Slice 70/155. Head. Image size 240x240.
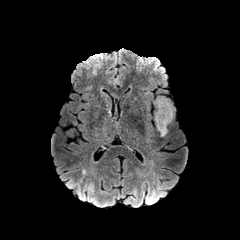
FLAIR MR image.
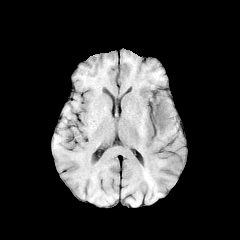
Same slice, T1-weighted MRI.
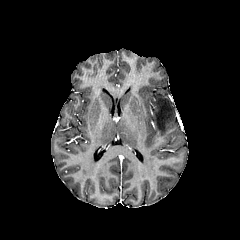
Post-contrast T1-weighted magnetic resonance of the same slice.
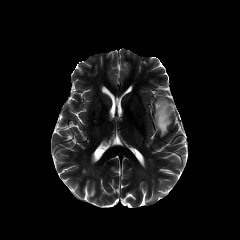
T2-weighted MR.
The peritumoral edema is located at rect(155, 97, 173, 136).